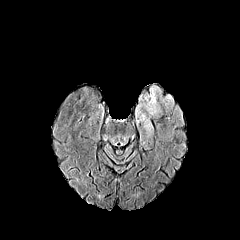
FLAIR MR image.
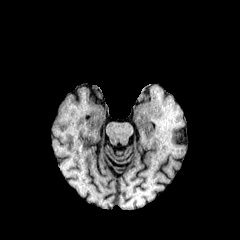
T1-weighted MRI.
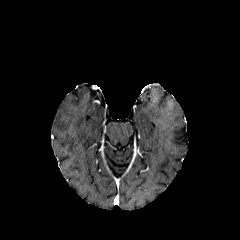
Same slice, post-contrast T1-weighted magnetic resonance.
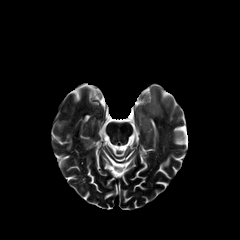
T2-weighted magnetic resonance.
Brain.
<segmentation>
  <peritumoral_edema>box(148, 88, 158, 114)</peritumoral_edema>
</segmentation>